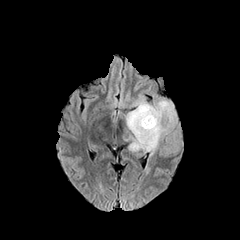
FLAIR magnetic resonance.
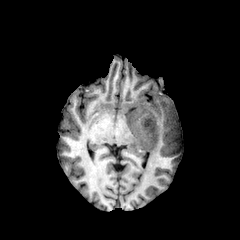
T1-weighted MR image.
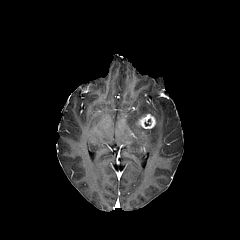
Post-contrast T1-weighted MRI.
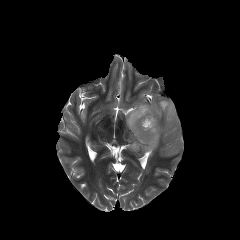
Same slice, T2-weighted magnetic resonance.
Head
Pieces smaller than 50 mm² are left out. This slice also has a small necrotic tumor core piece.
{
  "peritumoral_edema": [
    "bbox=[126, 96, 177, 155]"
  ],
  "enhancing_tumor": [
    "bbox=[138, 114, 155, 128]"
  ]
}